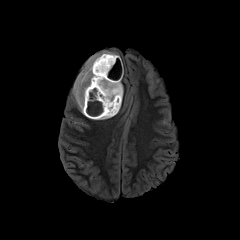
FLAIR MR image.
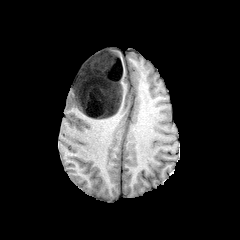
T1-weighted magnetic resonance.
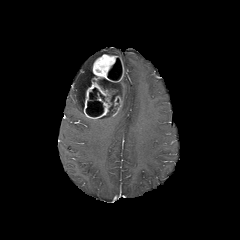
Post-contrast T1-weighted MR.
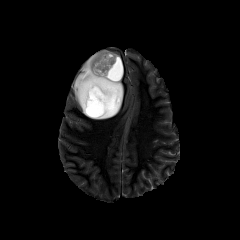
T2-weighted magnetic resonance of the same slice.
Axial plane. Brain. Image size 240x240.
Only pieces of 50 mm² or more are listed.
Findings:
• enhancing tumor: 112:96:122:116, 84:54:123:119
• necrotic tumor core: 98:78:121:115, 86:88:104:116, 107:58:122:80
• peritumoral edema: 72:51:119:115